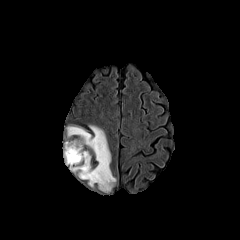
FLAIR MR image.
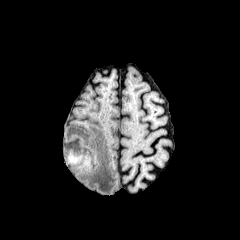
Same slice, T1-weighted MR image.
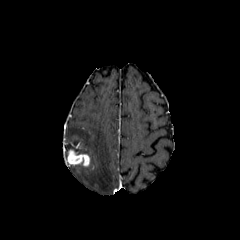
Post-contrast T1-weighted MRI.
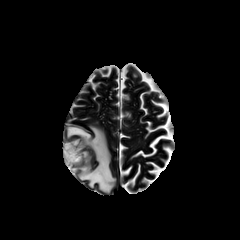
T2-weighted MR.
Brain, Image size 240x240
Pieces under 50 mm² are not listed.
{"peritumoral_edema": ["(64, 125, 116, 193)"], "enhancing_tumor": ["(65, 149, 90, 166)"]}